Axial slice.
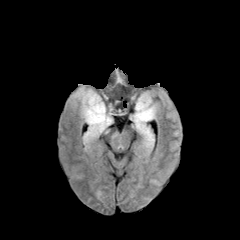
FLAIR MR image.
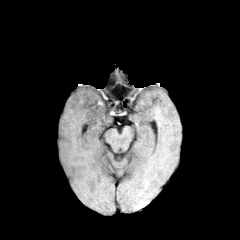
T1-weighted MRI.
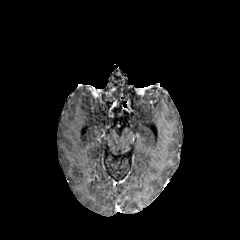
Post-contrast T1-weighted MR of the same slice.
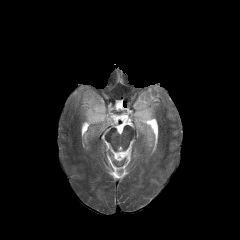
T2-weighted MRI of the same slice.
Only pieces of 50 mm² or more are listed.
{"peritumoral_edema": ["[73,87,112,144]", "[131,94,156,146]"]}